Axial plane. Head. 240x240 px. Image width 240 mm.
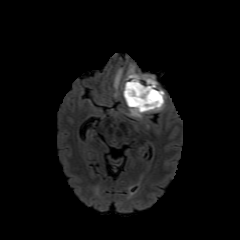
FLAIR magnetic resonance.
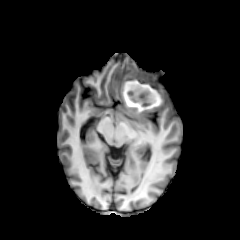
T1-weighted magnetic resonance.
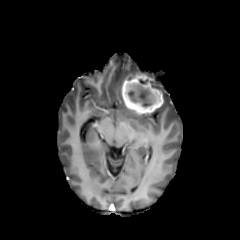
Same slice, post-contrast T1-weighted magnetic resonance.
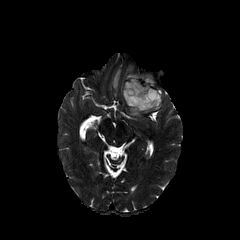
T2-weighted MR.
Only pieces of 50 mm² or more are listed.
necrotic tumor core: bbox=[126, 83, 159, 108] | enhancing tumor: bbox=[122, 73, 163, 114] | peritumoral edema: bbox=[113, 68, 122, 96]; bbox=[155, 91, 165, 110]; bbox=[144, 74, 162, 90]; bbox=[122, 64, 138, 84]; bbox=[129, 109, 141, 118]